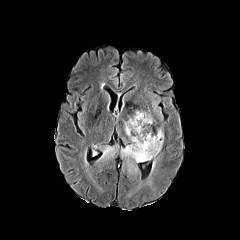
FLAIR MRI.
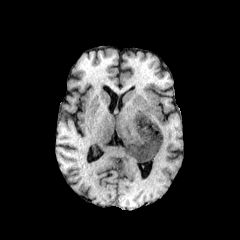
T1-weighted MRI of the same slice.
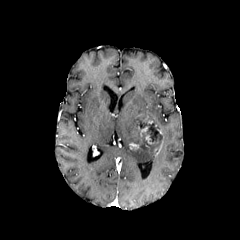
Post-contrast T1-weighted MR image of the same slice.
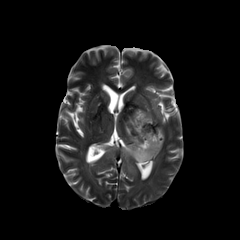
T2-weighted MR image.
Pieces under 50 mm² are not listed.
peritumoral edema at region(96, 109, 159, 190)
enhancing tumor at region(138, 126, 148, 136); region(129, 143, 139, 149)
necrotic tumor core at region(138, 116, 162, 151)